Head. Slice index 62.
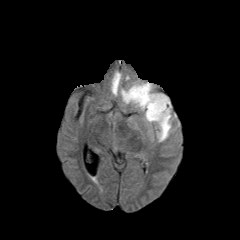
FLAIR MR image.
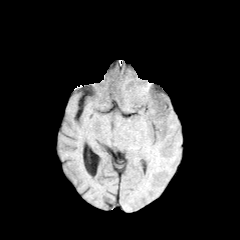
T1-weighted MR.
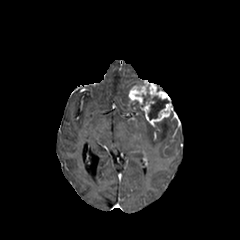
Post-contrast T1-weighted MR.
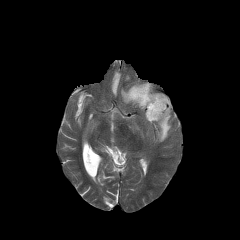
T2-weighted MR of the same slice.
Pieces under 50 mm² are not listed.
peritumoral edema — (111, 71, 121, 95), (155, 114, 171, 141), (120, 87, 139, 108)
enhancing tumor — (128, 82, 172, 124)
necrotic tumor core — (142, 93, 149, 104), (148, 96, 168, 119)